FLAIR magnetic resonance.
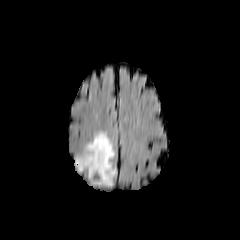
T1-weighted magnetic resonance.
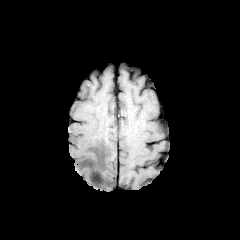
Post-contrast T1-weighted magnetic resonance.
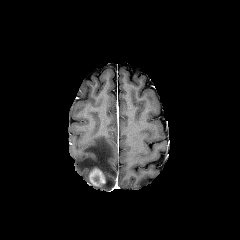
T2-weighted magnetic resonance.
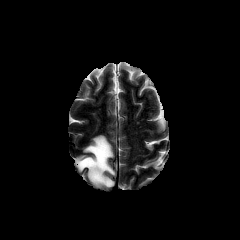
Axial plane; Head
The enhancing tumor is at 88 167 106 186. The peritumoral edema is bounded by 74 133 115 187.